FLAIR MRI.
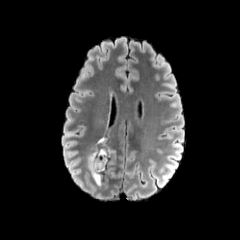
T1-weighted MRI.
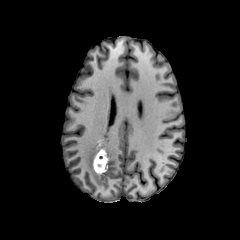
Post-contrast T1-weighted MR.
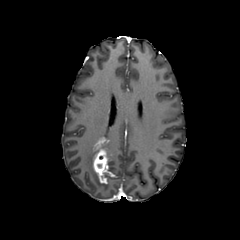
T2-weighted magnetic resonance.
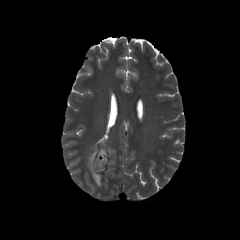
Axial slice. Brain.
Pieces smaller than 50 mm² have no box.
necrotic_tumor_core:
  - 96:163:104:169
enhancing_tumor:
  - 93:138:113:183
peritumoral_edema:
  - 88:141:111:186
  - 99:135:115:175